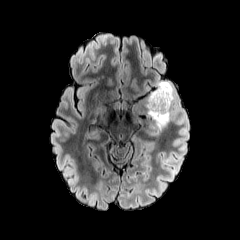
FLAIR MR image.
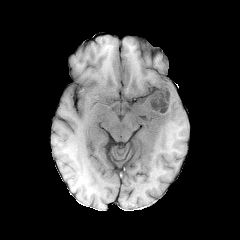
T1-weighted magnetic resonance.
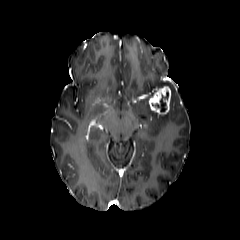
Post-contrast T1-weighted MR image of the same slice.
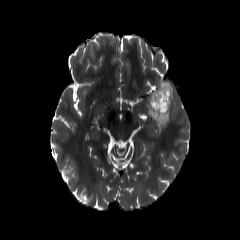
T2-weighted MRI.
peritumoral_edema:
  - (left=146, top=80, right=176, bottom=129)
enhancing_tumor:
  - (left=149, top=86, right=171, bottom=114)
necrotic_tumor_core:
  - (left=151, top=92, right=168, bottom=111)